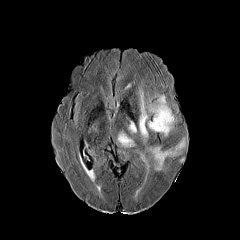
FLAIR MRI.
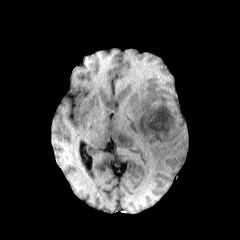
T1-weighted MR image.
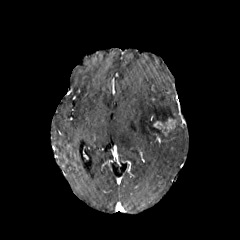
Post-contrast T1-weighted MRI.
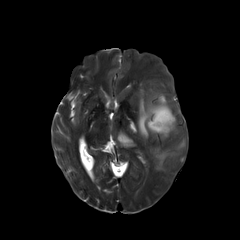
T2-weighted magnetic resonance.
Head, 240x240 px
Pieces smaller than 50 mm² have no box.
Annotated regions:
* peritumoral edema: 129,122,136,132; 139,90,185,170; 117,132,135,146
* enhancing tumor: 153,118,175,134